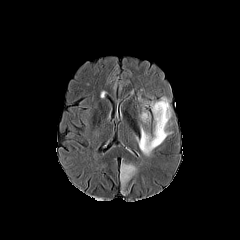
FLAIR MRI.
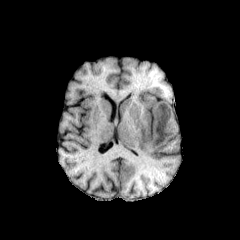
T1-weighted magnetic resonance of the same slice.
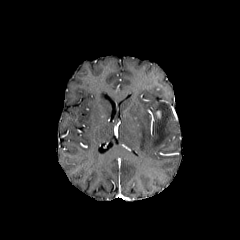
Post-contrast T1-weighted MR of the same slice.
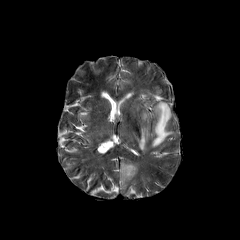
Same slice, T2-weighted MRI.
Axial view
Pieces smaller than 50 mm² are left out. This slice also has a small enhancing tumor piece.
3 peritumoral edema regions are bounded by (120,163,136,186), (140,110,150,123), (136,96,172,155).